FLAIR magnetic resonance.
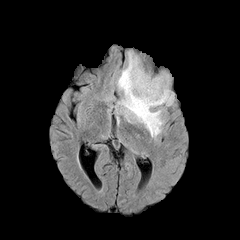
T1-weighted MR image.
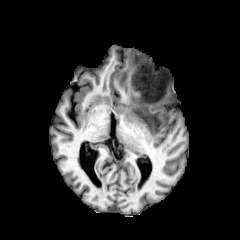
Post-contrast T1-weighted MR.
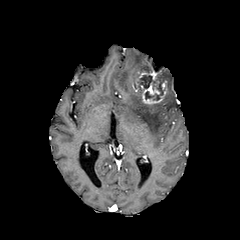
T2-weighted MR image.
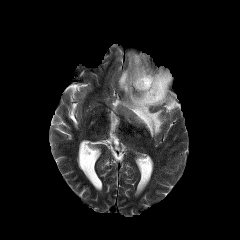
240x240, Brain
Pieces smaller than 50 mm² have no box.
The peritumoral edema is at 117,51,174,137. 2 enhancing tumor regions appear at 140,81,167,104; 132,70,164,91. The 2 largest necrotic tumor core regions appear at 153,73,167,100; 138,75,156,93.